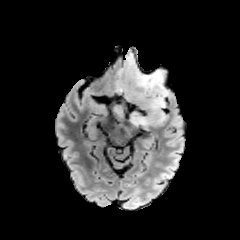
FLAIR MR image.
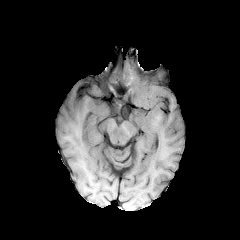
T1-weighted MR.
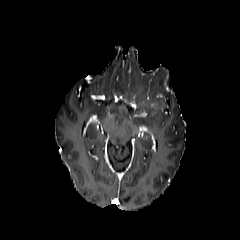
Post-contrast T1-weighted magnetic resonance of the same slice.
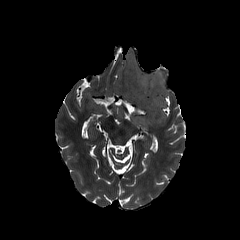
T2-weighted magnetic resonance.
Image size 240x240 | Axial view
The peritumoral edema lies within region(117, 55, 168, 127).